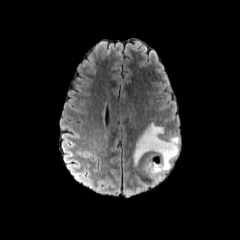
FLAIR MR.
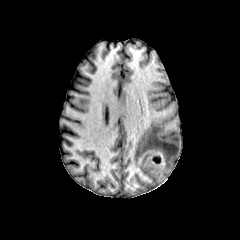
T1-weighted MRI of the same slice.
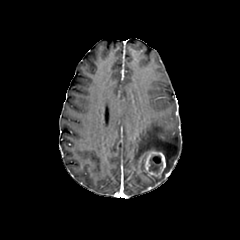
Post-contrast T1-weighted MR of the same slice.
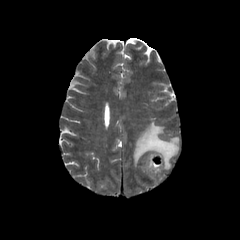
T2-weighted MRI of the same slice.
240x240, Axial slice
Segmented structures:
• enhancing tumor: (139, 148, 166, 179)
• necrotic tumor core: (149, 155, 162, 173)
• peritumoral edema: (133, 123, 179, 184)